Brain; 240x240
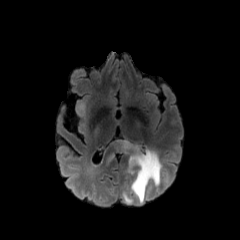
FLAIR magnetic resonance.
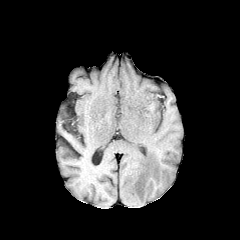
T1-weighted MR of the same slice.
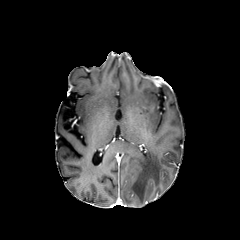
Same slice, post-contrast T1-weighted magnetic resonance.
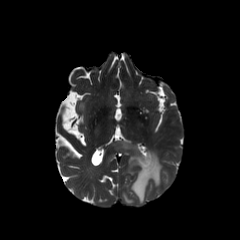
T2-weighted MR image.
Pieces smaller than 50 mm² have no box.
The 2 largest peritumoral edema regions are located at bbox(123, 193, 132, 203); bbox(113, 140, 161, 203).